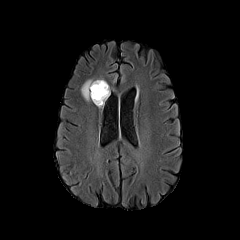
FLAIR MR.
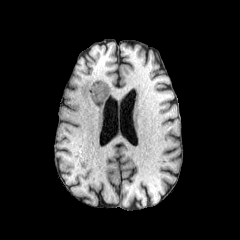
Same slice, T1-weighted MR image.
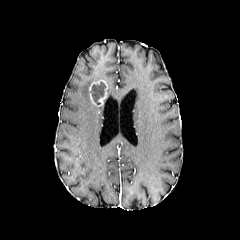
Post-contrast T1-weighted MR.
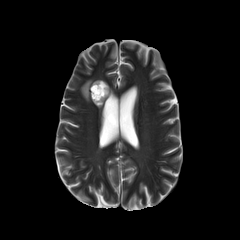
T2-weighted MRI.
Brain. Axial plane.
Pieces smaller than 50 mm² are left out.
<segmentation>
  <peritumoral_edema>x1=81 y1=79 x2=93 y2=101</peritumoral_edema>
  <enhancing_tumor>x1=89 y1=79 x2=108 y2=106</enhancing_tumor>
  <necrotic_tumor_core>x1=91 y1=82 x2=105 y2=104</necrotic_tumor_core>
</segmentation>